FLAIR magnetic resonance.
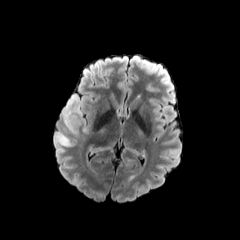
T1-weighted MRI.
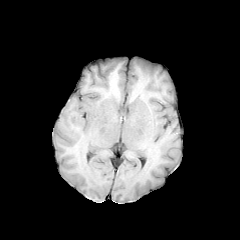
Post-contrast T1-weighted MR.
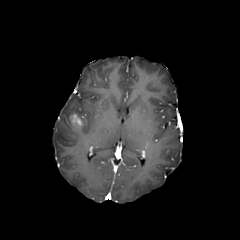
T2-weighted magnetic resonance.
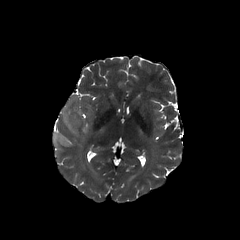
240x240 px.
peritumoral edema: {"x1": 63, "y1": 101, "x2": 77, "y2": 133}, {"x1": 60, "y1": 135, "x2": 70, "y2": 146} | enhancing tumor: {"x1": 69, "y1": 113, "x2": 82, "y2": 130}